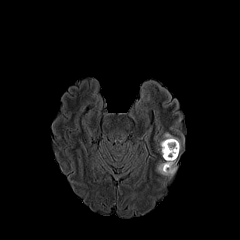
FLAIR magnetic resonance.
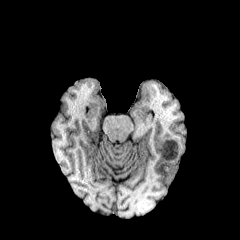
T1-weighted magnetic resonance.
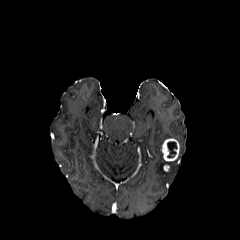
Post-contrast T1-weighted MR image of the same slice.
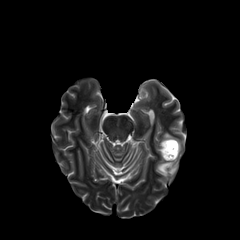
Same slice, T2-weighted MR.
Brain | Image size 240x240
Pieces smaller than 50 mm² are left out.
peritumoral edema: 158, 132, 184, 153; 157, 159, 177, 178
necrotic tumor core: 167, 141, 177, 157
enhancing tumor: 161, 138, 179, 161